Brain; Slice index 96; Image width 240 mm, 1.00 mm slice spacing
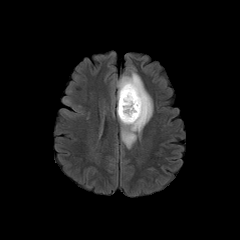
FLAIR magnetic resonance.
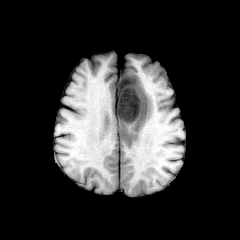
Same slice, T1-weighted MR image.
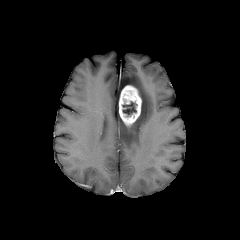
Same slice, post-contrast T1-weighted MR image.
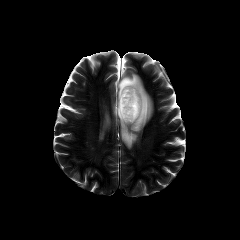
T2-weighted MR image.
peritumoral edema = 117,70,153,148
enhancing tumor = 119,85,141,126
necrotic tumor core = 122,101,136,115